FLAIR MR.
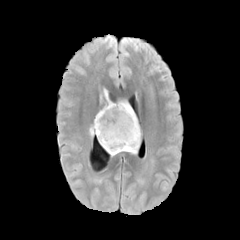
T1-weighted MR image.
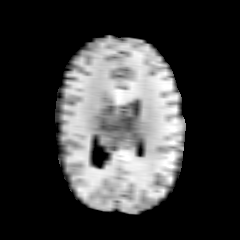
Post-contrast T1-weighted MR.
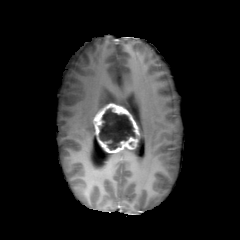
T2-weighted magnetic resonance.
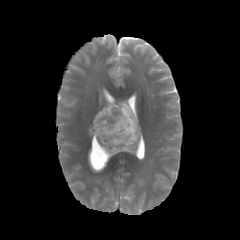
240x240
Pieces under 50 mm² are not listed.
<segmentation>
  <enhancing_tumor>l=93, t=103, r=140, b=153</enhancing_tumor>
  <necrotic_tumor_core>l=99, t=109, r=135, b=149</necrotic_tumor_core>
  <peritumoral_edema>l=104, t=89, r=112, b=105; l=89, t=124, r=94, b=136; l=116, t=100, r=138, b=125; l=120, t=142, r=138, b=154</peritumoral_edema>
</segmentation>